FLAIR magnetic resonance.
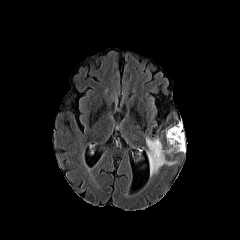
T1-weighted MR.
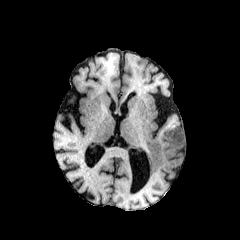
Post-contrast T1-weighted MR.
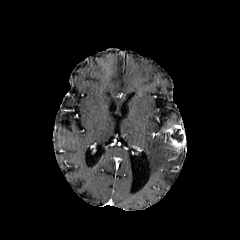
T2-weighted MR.
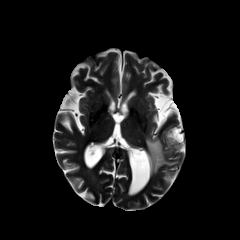
Brain
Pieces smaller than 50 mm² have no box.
The largest peritumoral edema region is located at box(146, 136, 176, 176). The necrotic tumor core appears at box(170, 129, 182, 141). The largest enhancing tumor region is at box(165, 123, 185, 152).